FLAIR magnetic resonance.
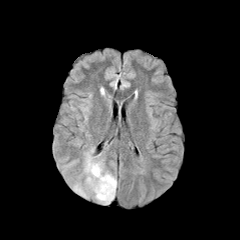
T1-weighted MR image.
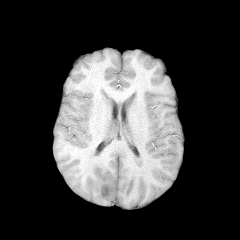
Post-contrast T1-weighted MR image.
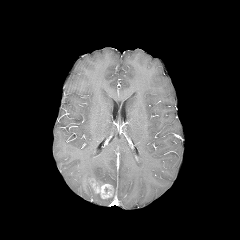
T2-weighted MR image.
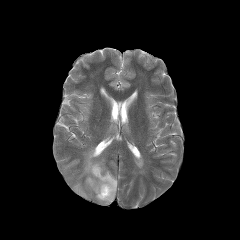
Brain | Axial slice
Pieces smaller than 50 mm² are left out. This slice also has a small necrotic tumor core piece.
Annotated regions:
* enhancing tumor: 89:179:113:198
* peritumoral edema: 72:147:116:204